240x240 px; Head; Axial view
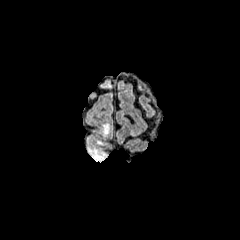
FLAIR MRI.
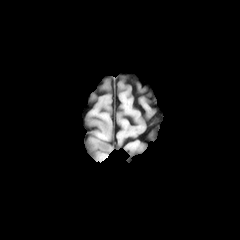
T1-weighted MR.
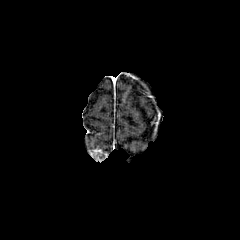
Post-contrast T1-weighted MRI.
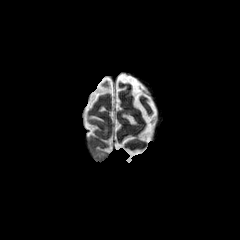
T2-weighted MRI.
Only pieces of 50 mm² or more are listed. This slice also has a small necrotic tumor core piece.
enhancing tumor = x1=88, y1=147, x2=107, y2=162
peritumoral edema = x1=103, y1=123, x2=109, y2=134